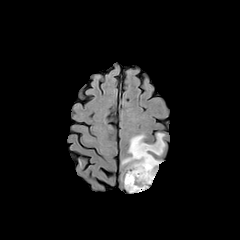
FLAIR MRI.
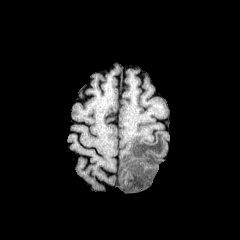
T1-weighted magnetic resonance.
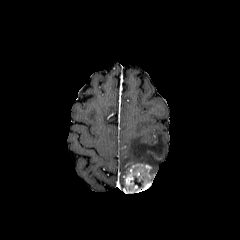
Post-contrast T1-weighted MR image.
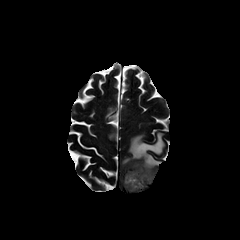
T2-weighted MRI of the same slice.
Head. Axial slice.
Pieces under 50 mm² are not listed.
enhancing tumor: bounding box x1=124 y1=163 x2=154 y2=193
peritumoral edema: bounding box x1=122 y1=133 x2=165 y2=173
necrotic tumor core: bounding box x1=134 y1=176 x2=143 y2=187